Image width 240 mm; Brain; Axial plane
FLAIR MRI.
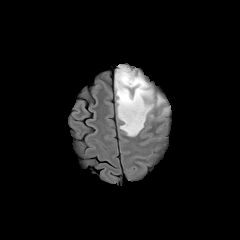
T1-weighted MR image.
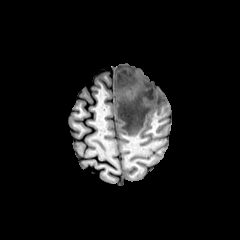
Post-contrast T1-weighted MRI.
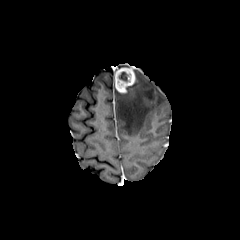
T2-weighted magnetic resonance.
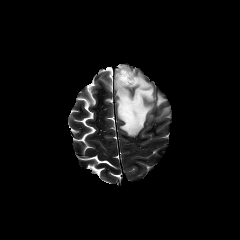
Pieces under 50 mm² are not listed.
necrotic tumor core: <bbox>118, 72, 130, 82</bbox>
peritumoral edema: <bbox>116, 72, 171, 136</bbox>
enhancing tumor: <bbox>115, 67, 135, 92</bbox>